Brain | Image width 240 mm, 1.00 mm slice spacing | Image size 240x240
FLAIR magnetic resonance.
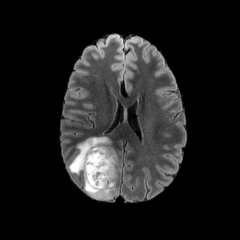
T1-weighted MR.
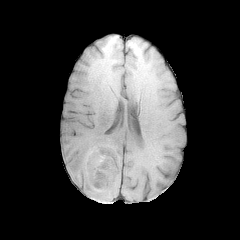
Post-contrast T1-weighted magnetic resonance.
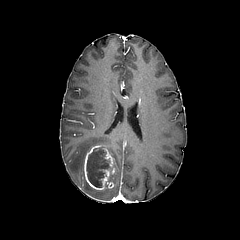
T2-weighted MRI.
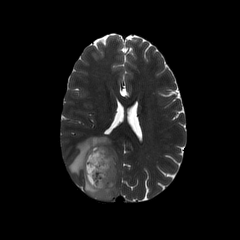
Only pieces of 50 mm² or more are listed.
peritumoral_edema:
  - 68, 137, 117, 200
necrotic_tumor_core:
  - 86, 147, 111, 187
enhancing_tumor:
  - 83, 145, 115, 190